FLAIR MR image.
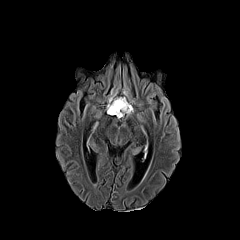
T1-weighted MR image.
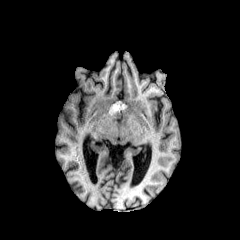
Post-contrast T1-weighted MRI.
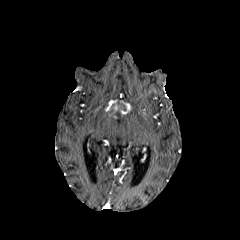
T2-weighted magnetic resonance.
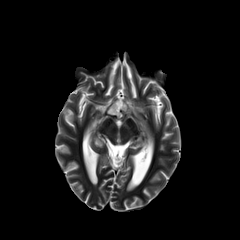
Axial plane. Head.
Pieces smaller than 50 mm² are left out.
The 2 largest enhancing tumor regions are bounded by 120:100:131:115, 107:99:117:116. The largest peritumoral edema region is bounded by 108:90:126:101. The necrotic tumor core appears at 109:100:125:117.